FLAIR MR image.
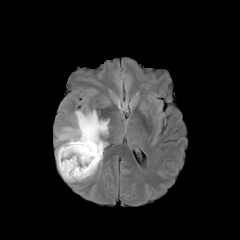
T1-weighted MRI.
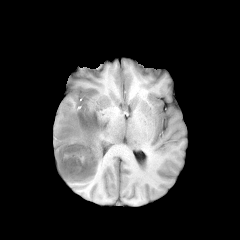
Post-contrast T1-weighted magnetic resonance.
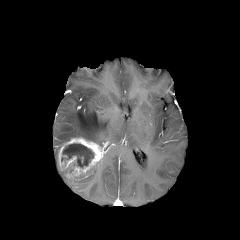
T2-weighted MRI.
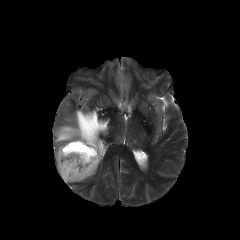
Axial plane, 240x240
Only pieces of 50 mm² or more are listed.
<segmentation>
  <peritumoral_edema>[55, 110, 109, 160], [59, 158, 102, 182]</peritumoral_edema>
  <necrotic_tumor_core>[61, 143, 94, 167]</necrotic_tumor_core>
  <enhancing_tumor>[57, 137, 103, 179]</enhancing_tumor>
</segmentation>